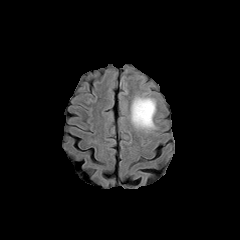
FLAIR MRI.
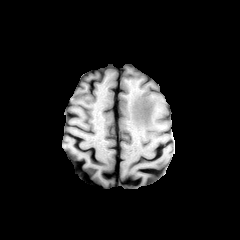
T1-weighted MR image of the same slice.
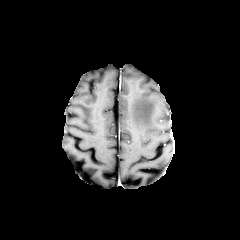
Post-contrast T1-weighted MRI.
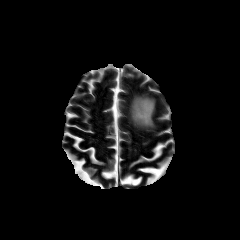
T2-weighted magnetic resonance of the same slice.
peritumoral edema: <box>131,96,155,129</box>